FLAIR MR.
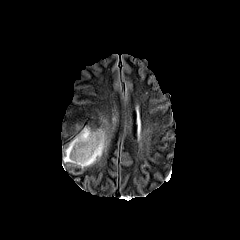
T1-weighted MRI.
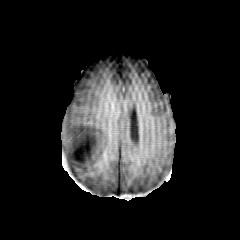
Post-contrast T1-weighted MR.
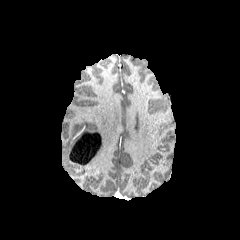
T2-weighted MR image.
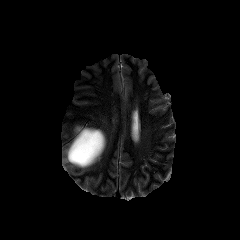
Brain
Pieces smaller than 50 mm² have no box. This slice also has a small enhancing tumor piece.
The necrotic tumor core lies within left=69, top=131, right=101, bottom=165. The peritumoral edema appears at left=63, top=125, right=107, bottom=169.